Image covers 240 mm x 240 mm
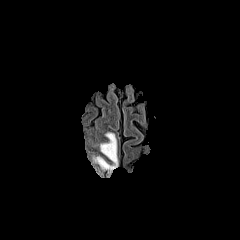
FLAIR magnetic resonance.
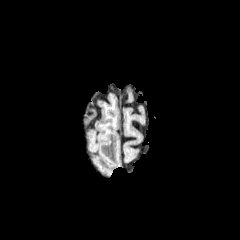
T1-weighted magnetic resonance.
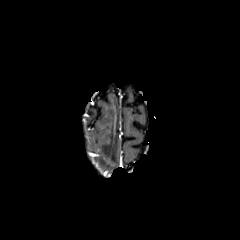
Post-contrast T1-weighted MR.
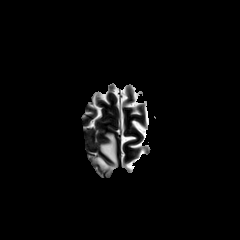
Same slice, T2-weighted MR image.
Findings:
* peritumoral edema: <bbox>95, 133, 117, 171</bbox>